Axial view. Slice 50/155. Head. Image width 240 mm, 1.00 mm slice spacing.
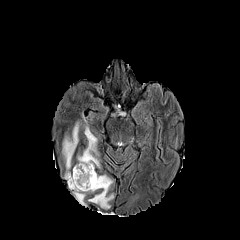
FLAIR magnetic resonance.
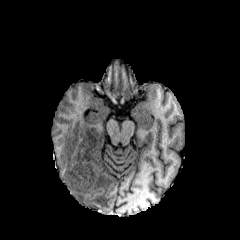
Same slice, T1-weighted magnetic resonance.
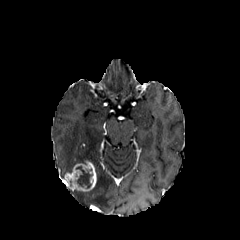
Post-contrast T1-weighted MR.
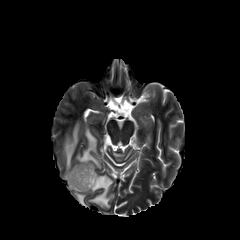
T2-weighted MR.
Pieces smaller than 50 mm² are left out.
enhancing tumor at 64,160,96,191
peritumoral edema at 88,175,114,208; 77,119,99,167; 73,190,88,206; 62,121,80,172
necrotic tumor core at 76,166,91,188